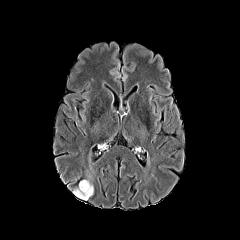
FLAIR magnetic resonance.
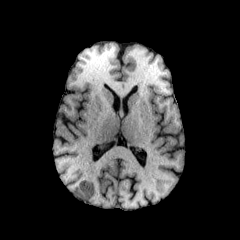
T1-weighted MR.
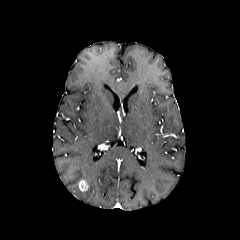
Same slice, post-contrast T1-weighted MR.
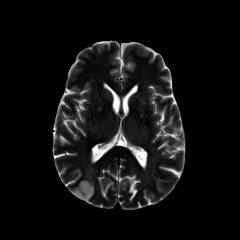
T2-weighted magnetic resonance.
Brain, Image size 240x240
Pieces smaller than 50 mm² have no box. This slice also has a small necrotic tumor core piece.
The largest enhancing tumor region lies within box=[78, 180, 88, 191]. The largest peritumoral edema region is located at box=[73, 179, 93, 200].